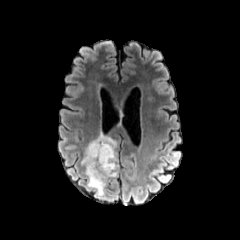
FLAIR magnetic resonance.
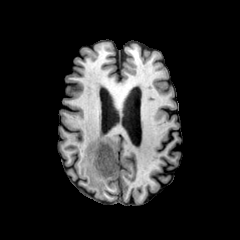
Same slice, T1-weighted MR image.
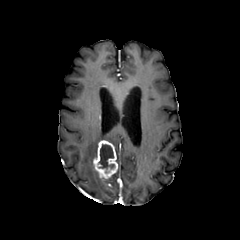
Post-contrast T1-weighted MR image.
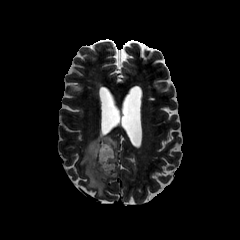
T2-weighted MR of the same slice.
{
  "peritumoral_edema": [
    "rect(81, 133, 118, 196)"
  ],
  "enhancing_tumor": [
    "rect(93, 140, 118, 179)"
  ],
  "necrotic_tumor_core": [
    "rect(99, 144, 114, 168)"
  ]
}